Image width 240 mm; Brain
FLAIR MR image.
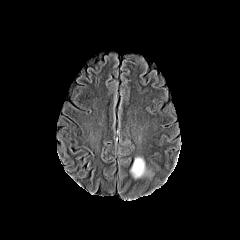
T1-weighted MR.
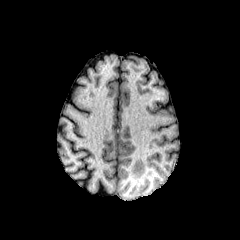
Post-contrast T1-weighted MR.
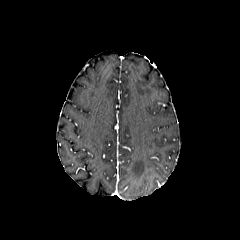
T2-weighted MR.
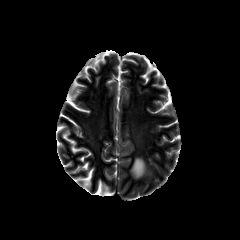
The peritumoral edema is located at <box>131,157,145,178</box>.